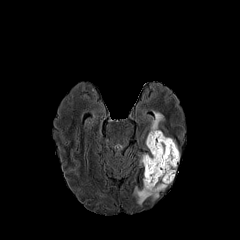
FLAIR MR.
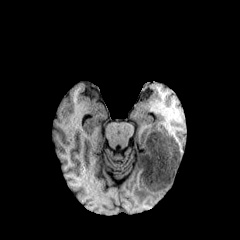
T1-weighted MRI of the same slice.
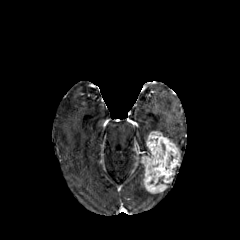
Post-contrast T1-weighted MR image.
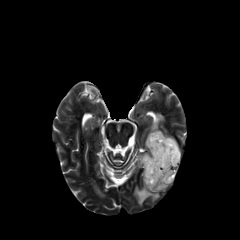
Same slice, T2-weighted MRI.
Brain
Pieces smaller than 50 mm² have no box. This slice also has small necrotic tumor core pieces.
Segmented structures:
- peritumoral edema: 133 185 159 205, 149 111 164 132
- enhancing tumor: 140 131 179 193